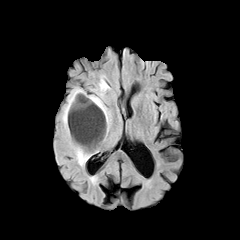
FLAIR magnetic resonance.
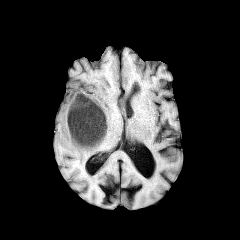
T1-weighted magnetic resonance of the same slice.
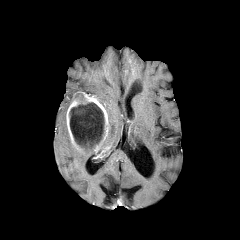
Post-contrast T1-weighted MRI.
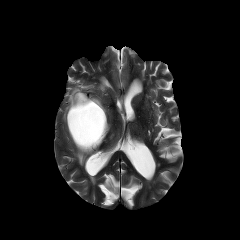
T2-weighted MR of the same slice.
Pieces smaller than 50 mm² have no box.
The largest enhancing tumor region is located at region(66, 92, 109, 151). The 2 largest peritumoral edema regions are bounded by region(89, 79, 111, 127); region(62, 87, 99, 165). The largest necrotic tumor core region appears at region(69, 102, 104, 149).